Image covers 240 mm x 240 mm; Brain; 240x240
FLAIR MR.
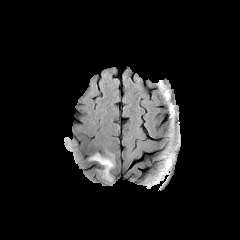
T1-weighted magnetic resonance.
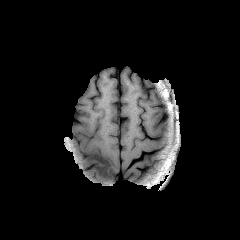
Post-contrast T1-weighted MRI.
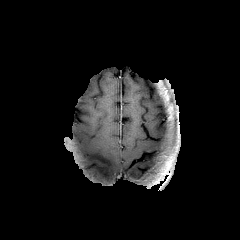
T2-weighted MR image.
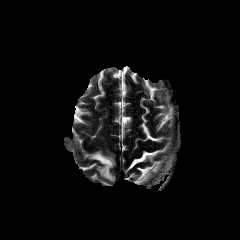
Annotated regions:
- peritumoral edema: [89, 152, 115, 181]